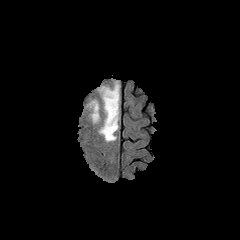
FLAIR MR image.
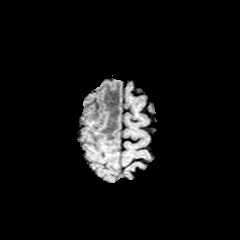
T1-weighted MR.
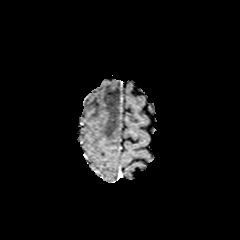
Post-contrast T1-weighted MR image of the same slice.
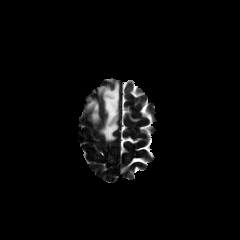
T2-weighted MRI.
Findings:
* peritumoral edema: (88, 100, 99, 122), (99, 82, 119, 141)